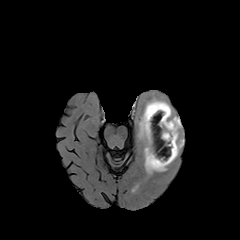
FLAIR magnetic resonance.
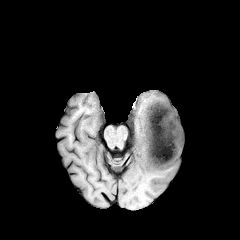
T1-weighted MR.
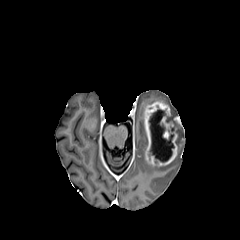
Post-contrast T1-weighted magnetic resonance.
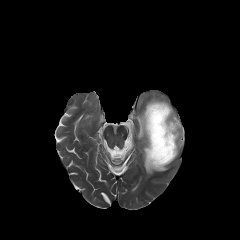
Same slice, T2-weighted magnetic resonance.
Head; 240x240 px; Axial plane
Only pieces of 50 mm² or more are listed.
The necrotic tumor core appears at left=149, top=109, right=174, bottom=162. The enhancing tumor appears at left=143, top=101, right=182, bottom=166. The 3 largest peritumoral edema regions are bounded by left=145, top=97, right=169, bottom=107; left=138, top=108, right=169, bottom=174; left=177, top=127, right=184, bottom=154.